Slice 110 of 155 | Head
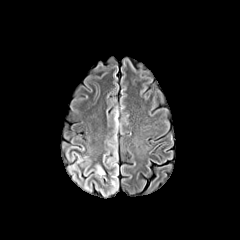
FLAIR MR image.
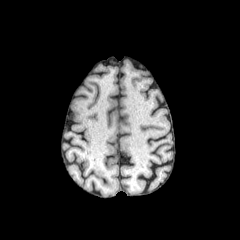
Same slice, T1-weighted MRI.
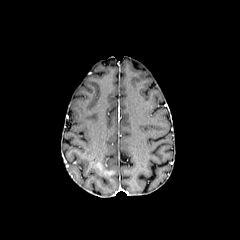
Post-contrast T1-weighted MR.
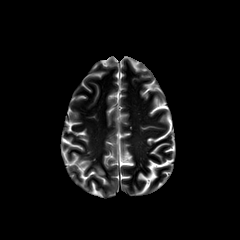
Same slice, T2-weighted MR.
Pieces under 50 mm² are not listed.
peritumoral edema — (96,165,104,175)